FLAIR MR image.
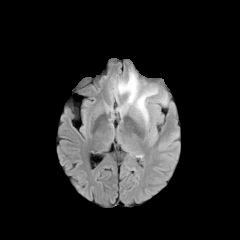
T1-weighted MR image.
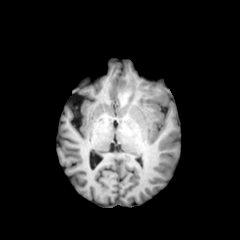
Post-contrast T1-weighted magnetic resonance.
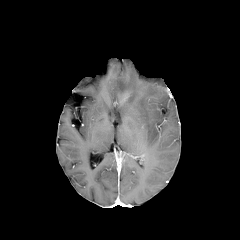
T2-weighted magnetic resonance.
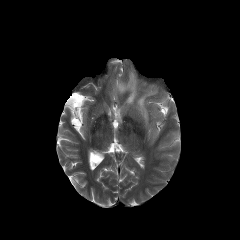
Head | Axial slice
<segmentation>
  <peritumoral_edema>rect(159, 96, 167, 104); rect(115, 72, 157, 123)</peritumoral_edema>
</segmentation>